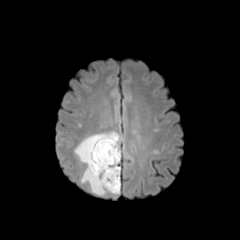
FLAIR MR image.
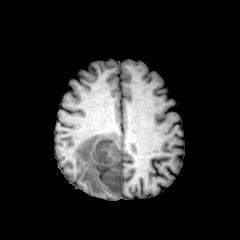
Same slice, T1-weighted magnetic resonance.
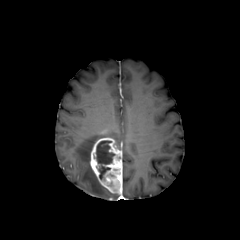
Post-contrast T1-weighted MR of the same slice.
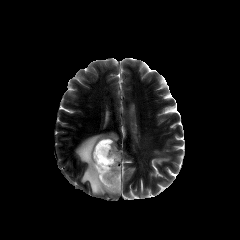
T2-weighted MR image.
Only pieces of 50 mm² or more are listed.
<segmentation>
  <peritumoral_edema>bbox=[75, 132, 119, 195]</peritumoral_edema>
  <enhancing_tumor>bbox=[90, 137, 122, 193]</enhancing_tumor>
  <necrotic_tumor_core>bbox=[96, 140, 114, 179]</necrotic_tumor_core>
</segmentation>